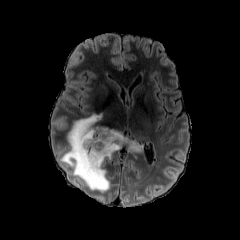
FLAIR MRI.
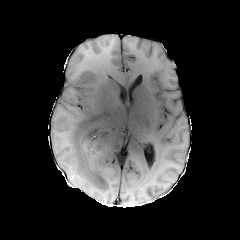
T1-weighted MR.
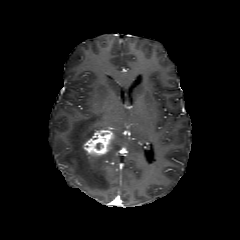
Post-contrast T1-weighted magnetic resonance.
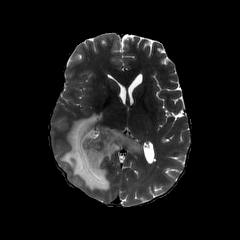
T2-weighted MR image.
Axial plane
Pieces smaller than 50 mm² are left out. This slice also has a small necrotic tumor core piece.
enhancing_tumor:
  - left=83, top=127, right=114, bottom=156
peritumoral_edema:
  - left=60, top=114, right=141, bottom=191